Axial slice; Image covers 240 mm x 240 mm; 240x240; Brain; Slice 112/155
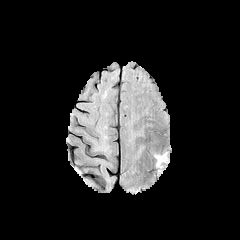
FLAIR MR image.
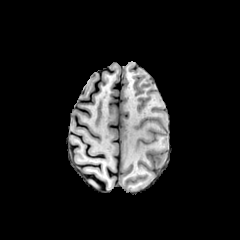
T1-weighted magnetic resonance.
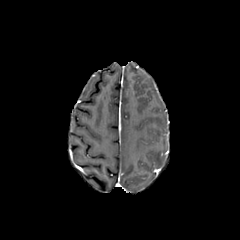
Post-contrast T1-weighted MRI.
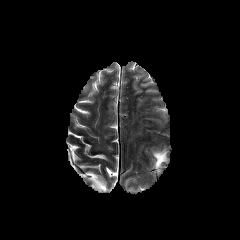
T2-weighted magnetic resonance.
peritumoral_edema:
  - l=154, t=154, r=165, b=167